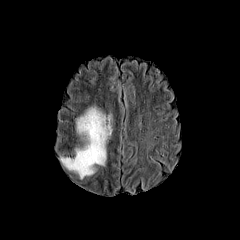
FLAIR MR image.
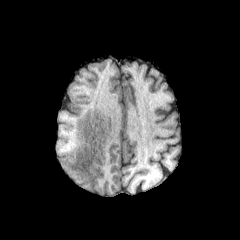
Same slice, T1-weighted MR image.
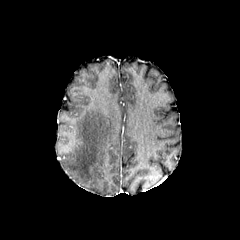
Post-contrast T1-weighted MR image.
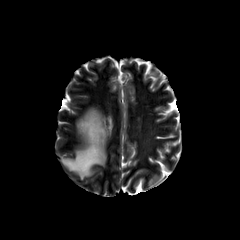
Same slice, T2-weighted MRI.
Axial slice, Brain
<segmentation>
  <peritumoral_edema>box=[59, 106, 112, 179]</peritumoral_edema>
</segmentation>